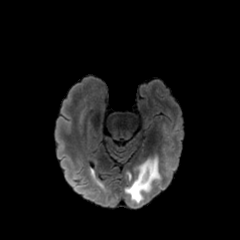
FLAIR MR.
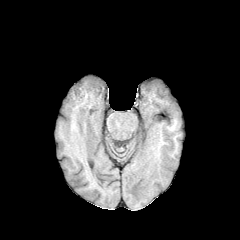
T1-weighted MR image of the same slice.
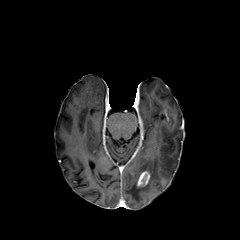
Post-contrast T1-weighted MR.
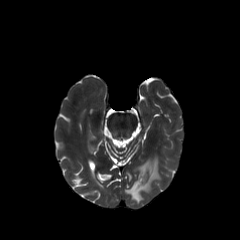
T2-weighted magnetic resonance.
Brain.
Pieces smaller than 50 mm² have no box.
{
  "peritumoral_edema": [
    "(125,157,160,203)"
  ],
  "enhancing_tumor": [
    "(137,171,150,187)"
  ]
}